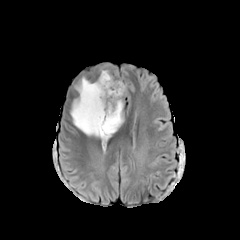
FLAIR MRI.
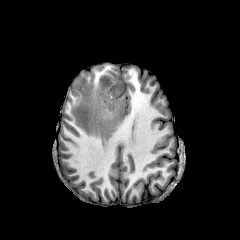
T1-weighted MR of the same slice.
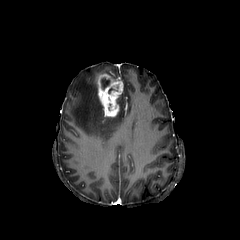
Post-contrast T1-weighted magnetic resonance.
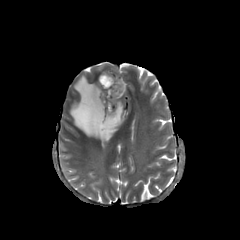
T2-weighted MR image of the same slice.
Axial plane | Head
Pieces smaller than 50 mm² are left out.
{"enhancing_tumor": ["[97, 74, 123, 116]"], "peritumoral_edema": ["[70, 76, 126, 144]"], "necrotic_tumor_core": ["[101, 78, 109, 88]"]}